Brain. Axial view. Image covers 240 mm x 240 mm. Slice 52 of 155.
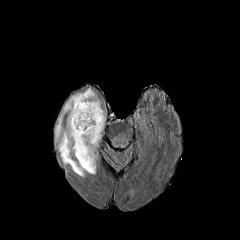
FLAIR magnetic resonance.
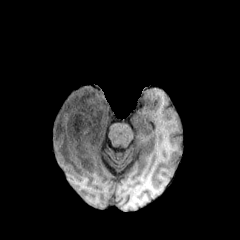
Same slice, T1-weighted MR.
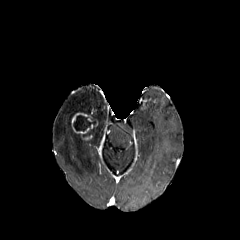
Same slice, post-contrast T1-weighted MRI.
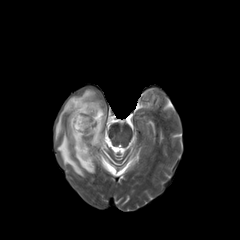
Same slice, T2-weighted MRI.
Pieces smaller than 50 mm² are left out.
peritumoral edema = bbox=[55, 88, 105, 176]
enhancing tumor = bbox=[71, 112, 97, 134]
necrotic tumor core = bbox=[73, 115, 96, 131]